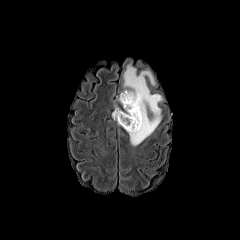
FLAIR MR.
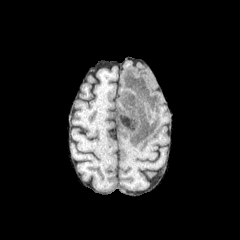
T1-weighted MR.
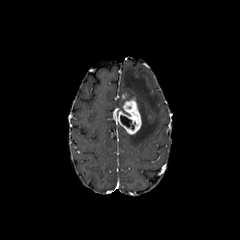
Post-contrast T1-weighted MR image.
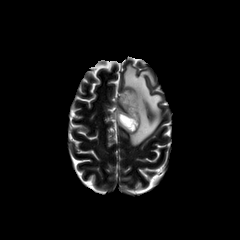
T2-weighted MR.
240x240. Head.
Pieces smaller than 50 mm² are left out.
peritumoral edema: bounding box <box>119,61,165,146</box>
enhancing tumor: bounding box <box>113,97,141,134</box>
necrotic tumor core: bounding box <box>120,115,134,129</box>